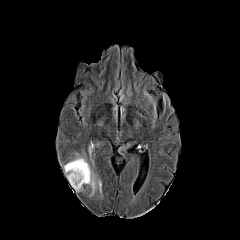
FLAIR MR.
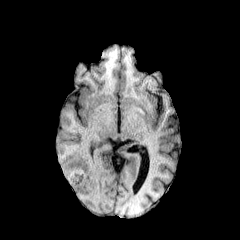
T1-weighted MRI.
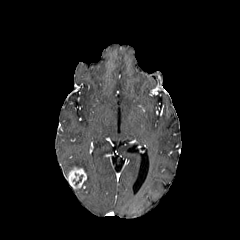
Post-contrast T1-weighted MR.
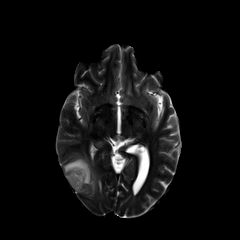
T2-weighted MR of the same slice.
Axial plane
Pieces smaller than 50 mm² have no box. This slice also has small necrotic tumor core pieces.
The enhancing tumor is at box=[67, 167, 86, 189]. The largest peritumoral edema region is at box=[63, 153, 101, 196].